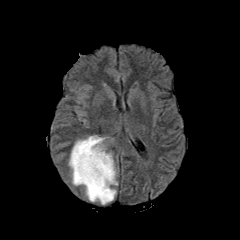
FLAIR MR.
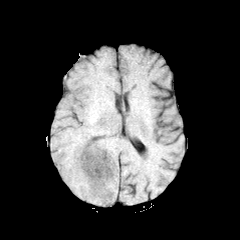
T1-weighted MRI of the same slice.
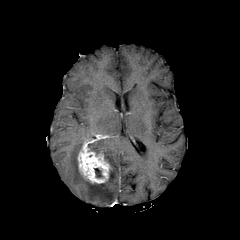
Post-contrast T1-weighted MR.
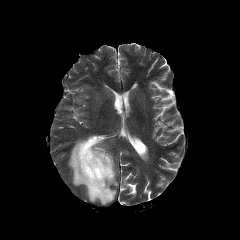
T2-weighted MR image of the same slice.
Image size 240x240
<segmentation>
  <peritumoral_edema>68, 135, 117, 204</peritumoral_edema>
  <necrotic_tumor_core>94, 168, 102, 177</necrotic_tumor_core>
  <enhancing_tumor>77, 135, 112, 183</enhancing_tumor>
</segmentation>